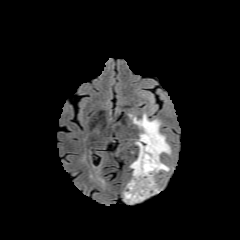
FLAIR MRI.
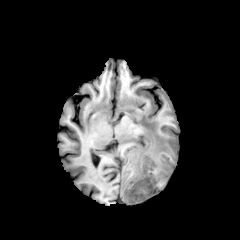
T1-weighted magnetic resonance.
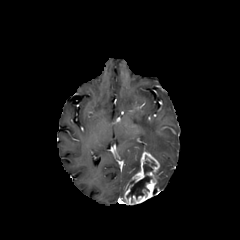
Post-contrast T1-weighted magnetic resonance.
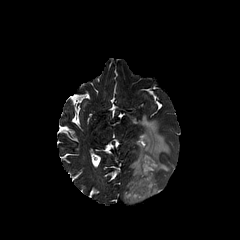
T2-weighted magnetic resonance.
Head; Axial slice; 240x240 px
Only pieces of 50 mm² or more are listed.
Segmented structures:
- peritumoral edema: [130,114,170,175]
- necrotic tumor core: [127,175,151,198], [143,161,152,174]
- enhancing tumor: [124,151,159,204]